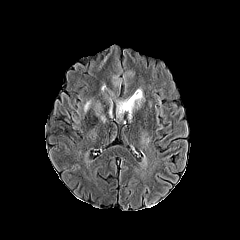
FLAIR magnetic resonance.
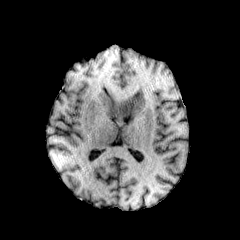
T1-weighted magnetic resonance of the same slice.
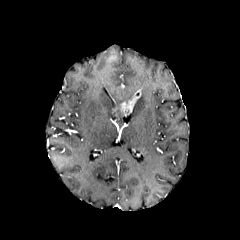
Post-contrast T1-weighted MR.
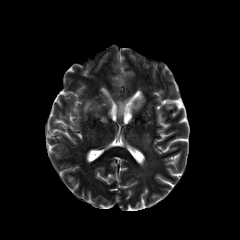
T2-weighted MR image.
240x240 px
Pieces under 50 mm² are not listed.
The 2 largest peritumoral edema regions are bounded by bbox(84, 101, 90, 112); bbox(136, 91, 144, 106). The largest enhancing tumor region is located at bbox(120, 90, 141, 115). The largest necrotic tumor core region lies within bbox(113, 106, 123, 118).